FLAIR MR.
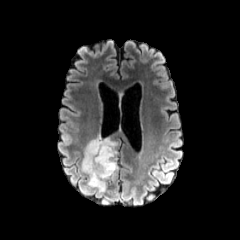
T1-weighted MR image.
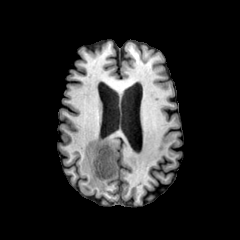
Post-contrast T1-weighted MR image.
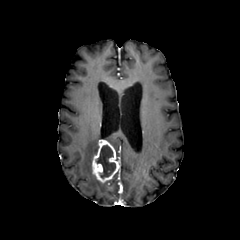
T2-weighted MR image.
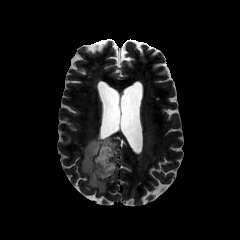
Axial plane | Brain
Findings:
• necrotic tumor core: [x1=96, y1=145, x2=115, y2=178]
• peritumoral edema: [x1=81, y1=134, x2=117, y2=193]
• enhancing tumor: [x1=92, y1=140, x2=119, y2=182]